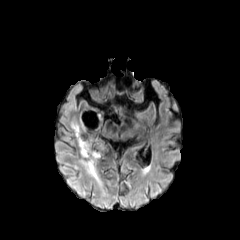
FLAIR magnetic resonance.
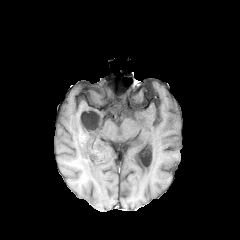
Same slice, T1-weighted magnetic resonance.
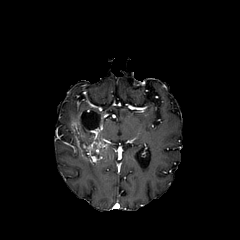
Post-contrast T1-weighted magnetic resonance of the same slice.
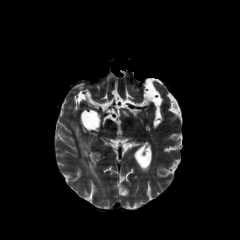
Same slice, T2-weighted MR image.
Axial slice.
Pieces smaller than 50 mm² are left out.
<segmentation>
  <enhancing_tumor>69, 105, 113, 165</enhancing_tumor>
  <necrotic_tumor_core>81, 110, 99, 129; 73, 129, 90, 153; 91, 144, 99, 158</necrotic_tumor_core>
  <peritumoral_edema>79, 158, 102, 186</peritumoral_edema>
</segmentation>